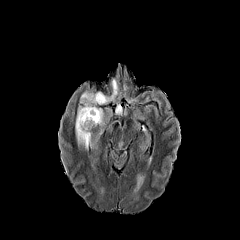
FLAIR MR image.
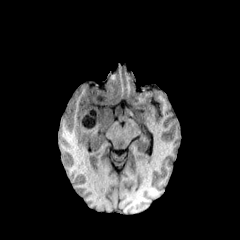
Same slice, T1-weighted MR image.
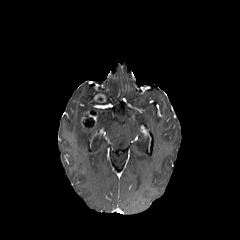
Post-contrast T1-weighted magnetic resonance.
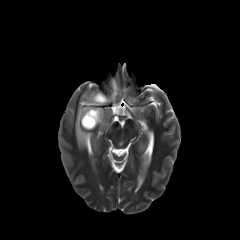
T2-weighted MR image of the same slice.
Head
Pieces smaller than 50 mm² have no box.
* enhancing tumor: x1=94, y1=94, x2=105, y2=102; x1=86, y1=111, x2=97, y2=125
* peritumoral edema: x1=100, y1=79, x2=117, y2=105; x1=75, y1=92, x2=103, y2=149
* necrotic tumor core: x1=82, y1=114, x2=94, y2=128